FLAIR MR.
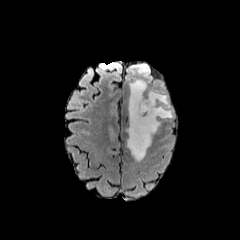
T1-weighted MR image.
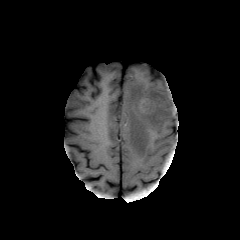
Post-contrast T1-weighted MR image.
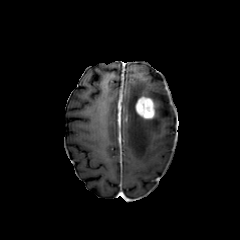
T2-weighted MRI.
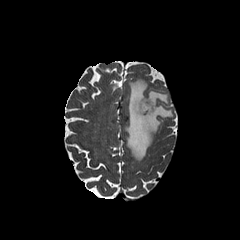
Head, Image size 240x240
peritumoral edema: bounding box box=[126, 78, 173, 161]
enhancing tumor: bounding box box=[135, 96, 155, 119]